Axial view | Head | Slice 92 of 155 | Image width 240 mm | Image size 240x240
FLAIR MR image.
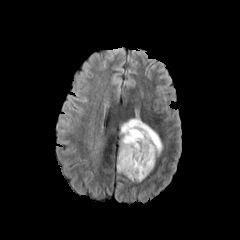
T1-weighted MRI.
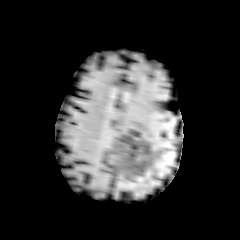
Post-contrast T1-weighted MR.
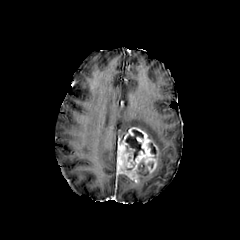
T2-weighted MRI.
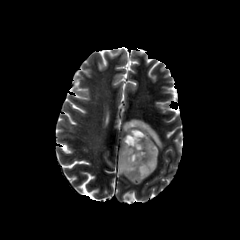
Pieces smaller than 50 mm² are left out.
The 2 largest necrotic tumor core regions are located at (x1=138, y1=162, x2=148, y2=175), (x1=125, y1=130, x2=143, y2=159). The largest peritumoral edema region is bounded by (x1=120, y1=116, x2=163, y2=153). The enhancing tumor is at (x1=117, y1=127, x2=159, y2=182).